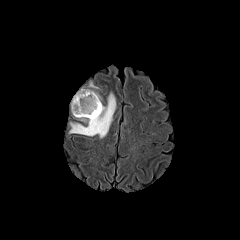
FLAIR magnetic resonance.
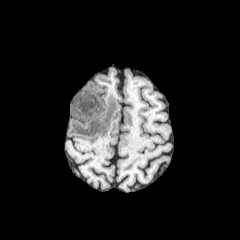
T1-weighted MR.
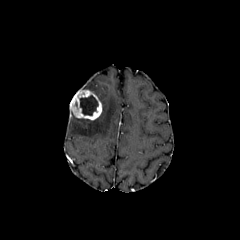
Post-contrast T1-weighted magnetic resonance of the same slice.
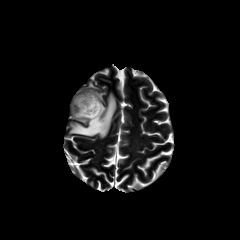
Same slice, T2-weighted MR.
Brain, Axial slice
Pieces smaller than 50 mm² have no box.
necrotic tumor core = box=[80, 95, 98, 115]
enhancing tumor = box=[70, 89, 102, 120]
peritumoral edema = box=[87, 82, 102, 102]; box=[69, 92, 116, 138]